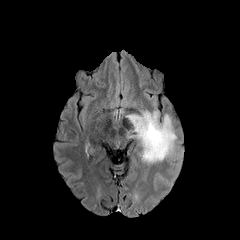
FLAIR MR image.
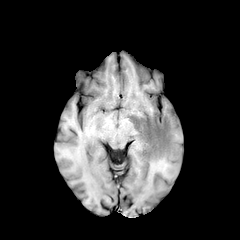
T1-weighted MRI.
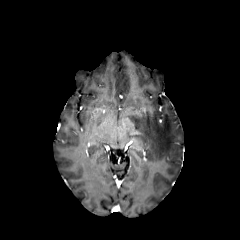
Same slice, post-contrast T1-weighted magnetic resonance.
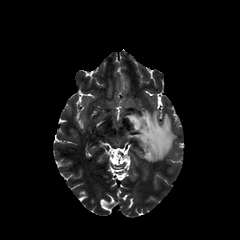
T2-weighted MRI.
240x240, Head
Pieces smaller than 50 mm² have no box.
<segmentation>
  <peritumoral_edema>127,111,176,162</peritumoral_edema>
</segmentation>